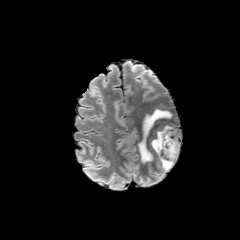
FLAIR MR.
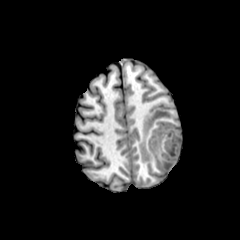
T1-weighted MR of the same slice.
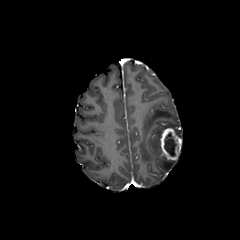
Post-contrast T1-weighted MR of the same slice.
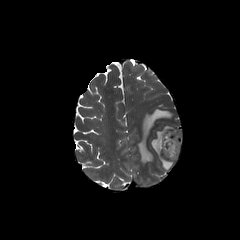
Same slice, T2-weighted MRI.
Head
enhancing tumor: bounding box rect(160, 127, 181, 160)
necrotic tumor core: bounding box rect(164, 132, 177, 156)
peritumoral edema: bounding box rect(151, 125, 181, 171); rect(138, 109, 172, 162)